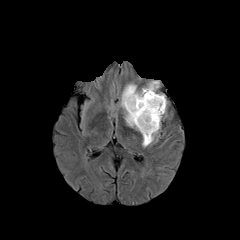
FLAIR MR image.
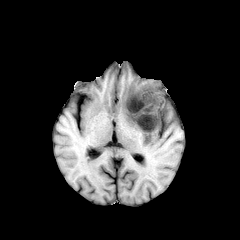
T1-weighted magnetic resonance.
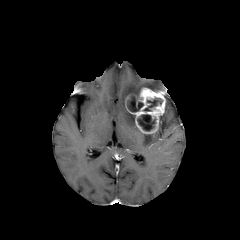
Post-contrast T1-weighted MR.
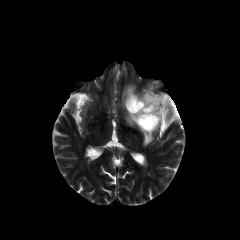
Same slice, T2-weighted MR.
240x240 | Brain
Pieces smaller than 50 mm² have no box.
enhancing tumor: bounding box 125, 87, 166, 134
necrotic tumor core: bounding box 127, 96, 143, 111; 137, 114, 155, 130; 144, 98, 162, 110
peritumoral edema: bounding box 120, 83, 139, 130; 146, 80, 160, 90; 141, 116, 161, 146